FLAIR magnetic resonance.
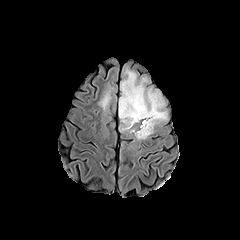
T1-weighted MR.
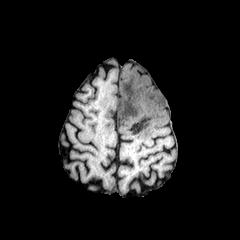
Post-contrast T1-weighted MR image.
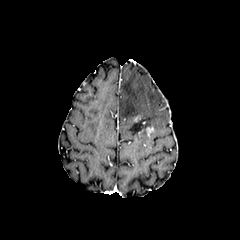
T2-weighted magnetic resonance.
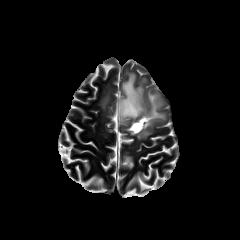
Head
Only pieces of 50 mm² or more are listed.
Annotated regions:
- necrotic tumor core: (131, 116, 147, 133), (123, 87, 141, 116)
- peritumoral edema: (134, 133, 148, 139), (99, 91, 110, 110), (119, 69, 167, 133)
- enhancing tumor: (146, 126, 153, 135)